Head. Axial view.
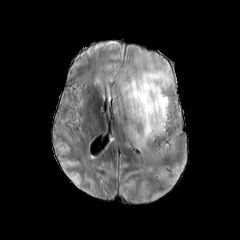
FLAIR MR image.
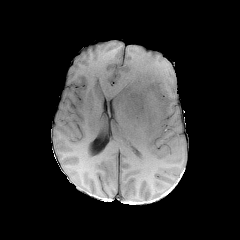
T1-weighted MRI.
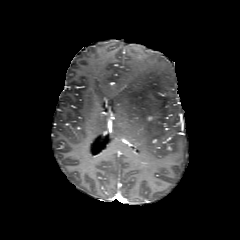
Post-contrast T1-weighted MR.
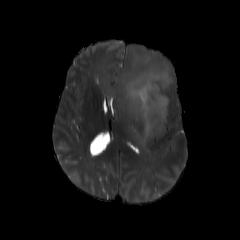
T2-weighted MR.
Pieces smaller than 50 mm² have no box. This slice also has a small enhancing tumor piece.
The peritumoral edema appears at x1=116, y1=65, x2=173, y2=145.